Brain, 240x240 px, Slice index 102, Axial view
FLAIR MR image.
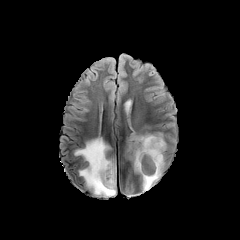
T1-weighted MR image.
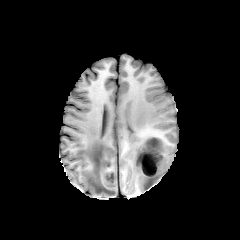
Post-contrast T1-weighted magnetic resonance.
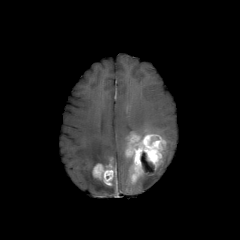
T2-weighted MR image.
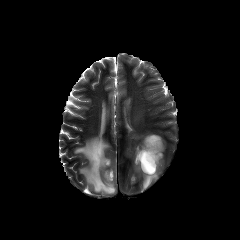
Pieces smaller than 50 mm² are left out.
<segmentation>
  <necrotic_tumor_core>(141, 152, 155, 173)</necrotic_tumor_core>
  <peritumoral_edema>(74, 137, 116, 196), (140, 144, 166, 191)</peritumoral_edema>
  <enhancing_tumor>(126, 134, 165, 181), (92, 163, 115, 185)</enhancing_tumor>
</segmentation>